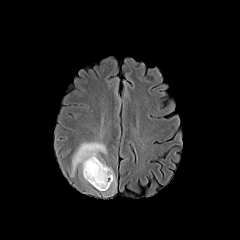
FLAIR MR.
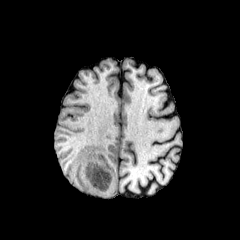
T1-weighted MR image of the same slice.
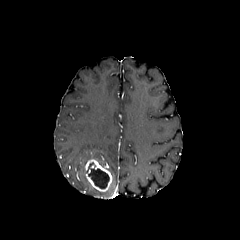
Post-contrast T1-weighted MRI of the same slice.
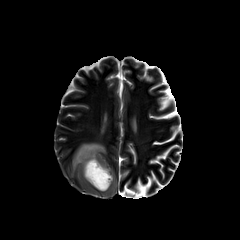
T2-weighted MR image.
240x240
peritumoral edema: {"x1": 72, "y1": 142, "x2": 115, "y2": 193}
necrotic tumor core: {"x1": 87, "y1": 163, "x2": 109, "y2": 188}
enhancing tumor: {"x1": 85, "y1": 158, "x2": 112, "y2": 191}